Image size 240x240
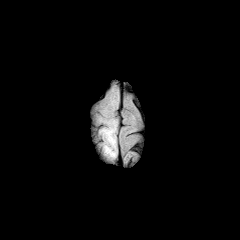
FLAIR MRI.
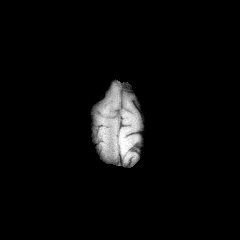
T1-weighted magnetic resonance.
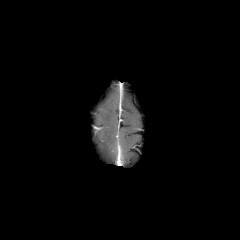
Post-contrast T1-weighted magnetic resonance.
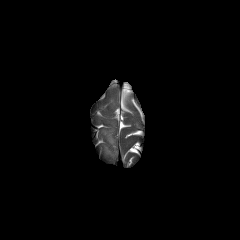
Same slice, T2-weighted magnetic resonance.
peritumoral edema = [104,146,115,156], [102,127,115,147]